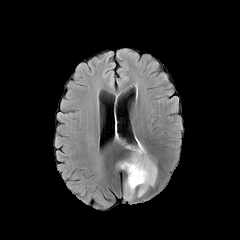
FLAIR MRI.
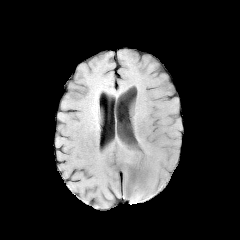
T1-weighted MR.
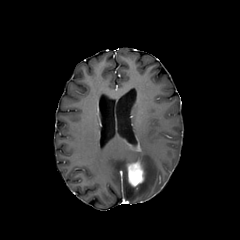
Post-contrast T1-weighted MRI of the same slice.
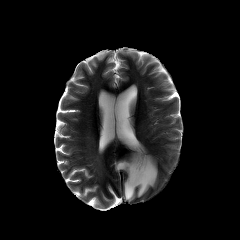
Same slice, T2-weighted MR image.
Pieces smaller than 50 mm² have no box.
peritumoral edema at <bbox>116, 140, 157, 201</bbox>
enhancing tumor at <bbox>127, 160, 144, 186</bbox>